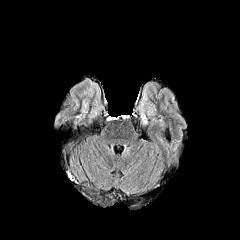
FLAIR MR image.
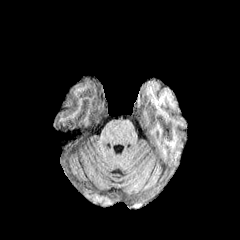
Same slice, T1-weighted MR.
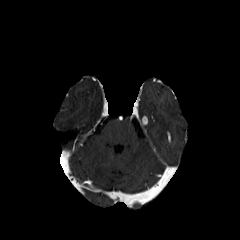
Post-contrast T1-weighted MRI of the same slice.
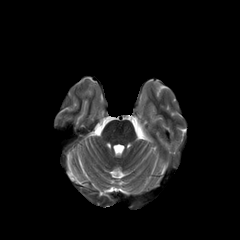
Same slice, T2-weighted MR.
Axial view.
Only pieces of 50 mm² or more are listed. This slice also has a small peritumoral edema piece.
{
  "enhancing_tumor": [
    "[141, 116, 147, 125]"
  ]
}